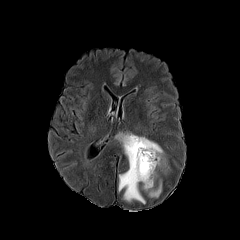
FLAIR MRI.
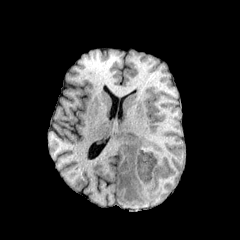
T1-weighted MRI of the same slice.
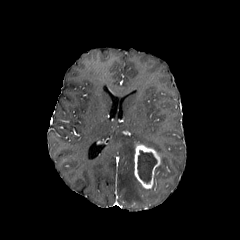
Post-contrast T1-weighted MRI of the same slice.
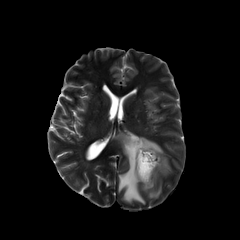
T2-weighted MR.
240x240 px, Head
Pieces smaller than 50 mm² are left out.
<segmentation>
  <peritumoral_edema><bbox>116, 133, 165, 203</bbox>, <bbox>144, 180, 161, 197</bbox></peritumoral_edema>
  <necrotic_tumor_core><bbox>137, 151, 156, 182</bbox></necrotic_tumor_core>
  <enhancing_tumor><bbox>134, 142, 161, 189</bbox></enhancing_tumor>
</segmentation>